Brain, Axial view, Slice index 73
FLAIR MR image.
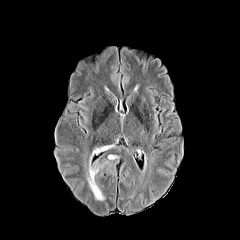
T1-weighted magnetic resonance.
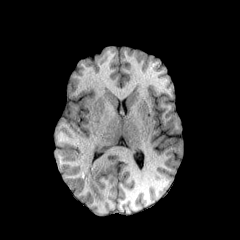
Post-contrast T1-weighted MR.
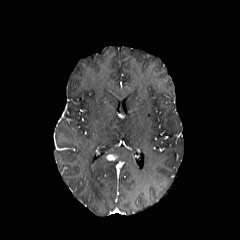
T2-weighted magnetic resonance.
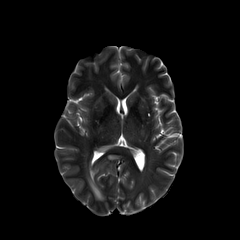
peritumoral edema: bbox=[87, 144, 113, 200]
enhancing tumor: bbox=[107, 154, 116, 160]